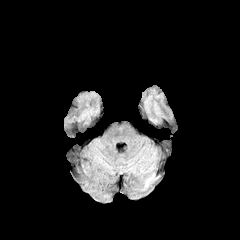
FLAIR MRI.
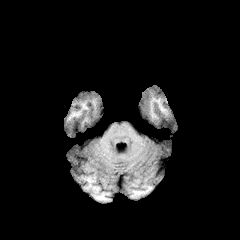
Same slice, T1-weighted MR.
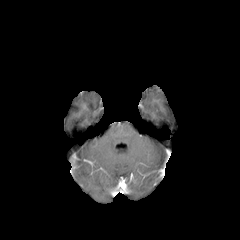
Post-contrast T1-weighted MR of the same slice.
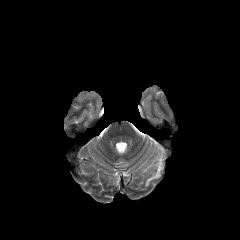
T2-weighted magnetic resonance.
240x240 px. Axial plane. Head.
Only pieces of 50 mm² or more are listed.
• peritumoral edema: rect(141, 174, 155, 190)